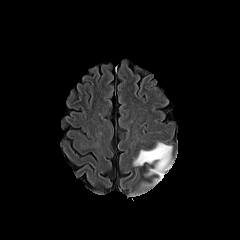
FLAIR MRI.
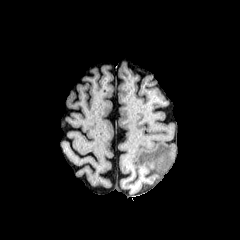
T1-weighted MRI.
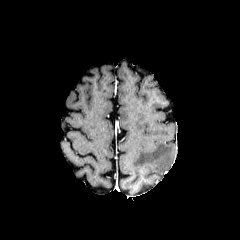
Post-contrast T1-weighted MR.
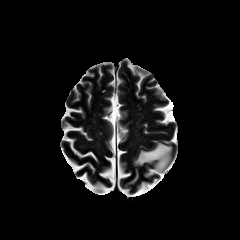
Same slice, T2-weighted MR image.
Image size 240x240
Segmented structures:
• peritumoral edema: [x1=133, y1=142, x2=173, y2=185]